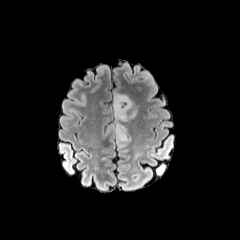
FLAIR MR.
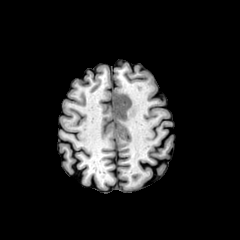
Same slice, T1-weighted MR.
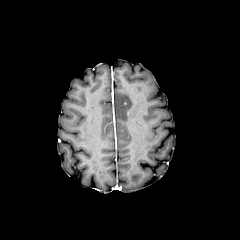
Post-contrast T1-weighted MR.
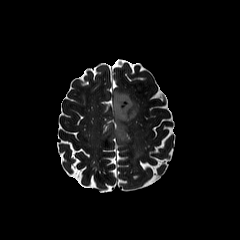
T2-weighted MR.
Head
peritumoral_edema:
  - {"x1": 113, "y1": 91, "x2": 136, "y2": 121}